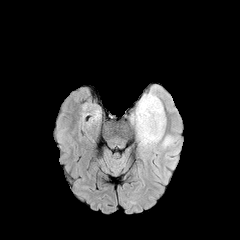
FLAIR MR.
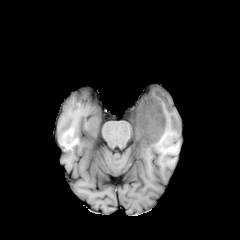
T1-weighted MR image of the same slice.
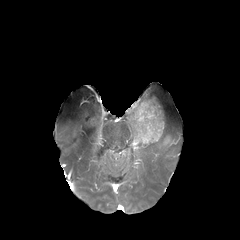
Post-contrast T1-weighted MR image of the same slice.
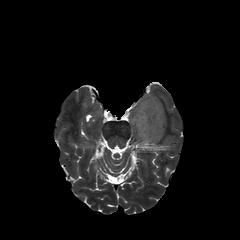
T2-weighted MRI.
Axial slice, Brain
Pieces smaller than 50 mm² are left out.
{"peritumoral_edema": [{"x1": 138, "y1": 88, "x2": 173, "y2": 150}, {"x1": 130, "y1": 112, "x2": 136, "y2": 132}], "enhancing_tumor": [{"x1": 133, "y1": 98, "x2": 164, "y2": 144}]}